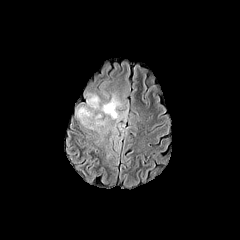
FLAIR magnetic resonance.
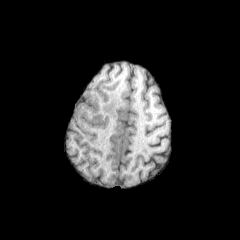
T1-weighted MRI.
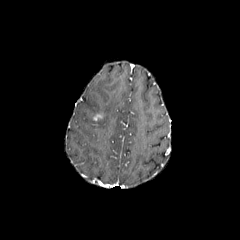
Post-contrast T1-weighted magnetic resonance.
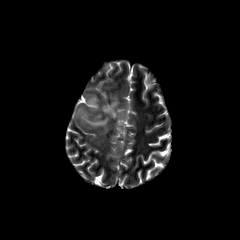
T2-weighted magnetic resonance.
Image size 240x240. Axial view. Brain.
The enhancing tumor lies within [92,113,103,121]. The peritumoral edema is located at [76,93,127,132].